FLAIR magnetic resonance.
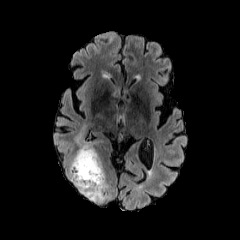
T1-weighted MR.
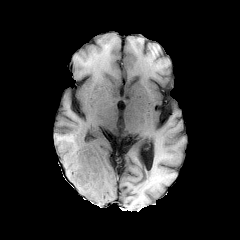
Post-contrast T1-weighted MRI.
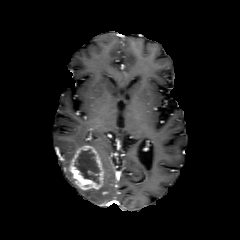
T2-weighted MR image.
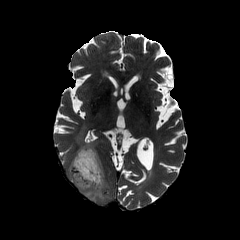
Brain; 240x240; Axial slice
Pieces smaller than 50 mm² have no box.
The largest peritumoral edema region is at box(67, 165, 109, 202). The enhancing tumor is at box(70, 145, 103, 190). The necrotic tumor core is bounded by box(75, 149, 99, 183).